FLAIR MR.
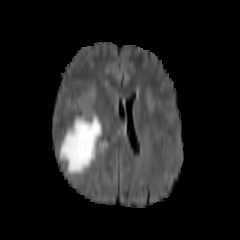
T1-weighted MRI.
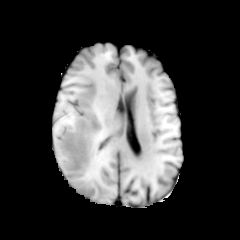
Post-contrast T1-weighted MRI.
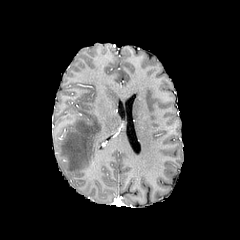
T2-weighted MRI.
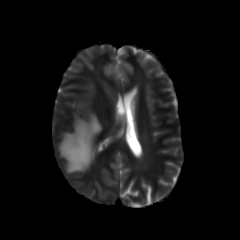
Head
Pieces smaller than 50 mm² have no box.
peritumoral edema: bounding box (59, 113, 102, 174)